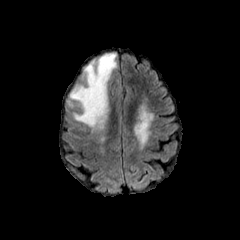
FLAIR MR image.
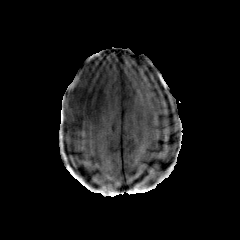
T1-weighted MRI of the same slice.
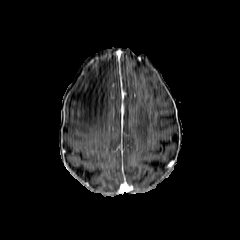
Post-contrast T1-weighted MR of the same slice.
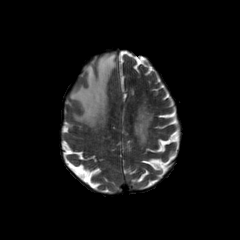
T2-weighted MR image.
<segmentation>
  <peritumoral_edema><bbox>67, 53, 116, 130</bbox></peritumoral_edema>
</segmentation>